FLAIR magnetic resonance.
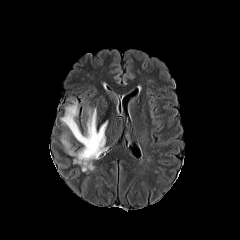
T1-weighted MR image.
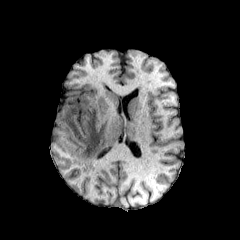
Post-contrast T1-weighted MRI.
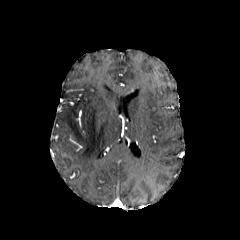
T2-weighted MR image.
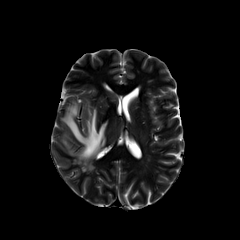
240x240 px; Axial slice
The peritumoral edema lies within bbox=[60, 100, 107, 171].